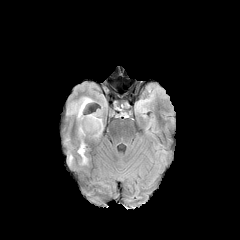
FLAIR MR.
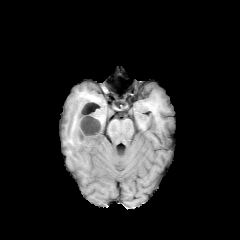
T1-weighted magnetic resonance.
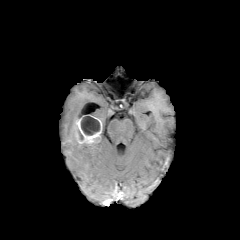
Post-contrast T1-weighted MR image.
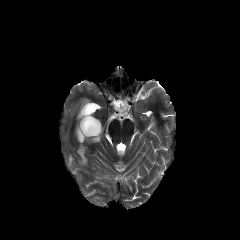
T2-weighted MR image of the same slice.
Axial plane.
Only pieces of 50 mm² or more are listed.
The 2 largest peritumoral edema regions appear at [67,97,90,120], [77,143,87,164]. The enhancing tumor is at [75,115,102,143]. The largest necrotic tumor core region lies within [81,116,99,135].